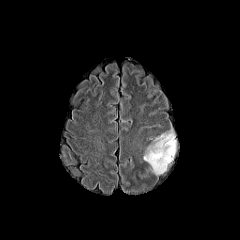
FLAIR MR.
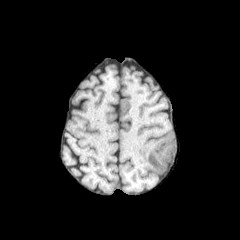
Same slice, T1-weighted MR image.
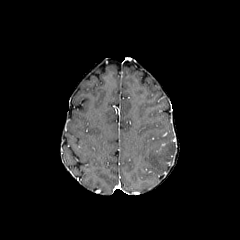
Post-contrast T1-weighted MRI.
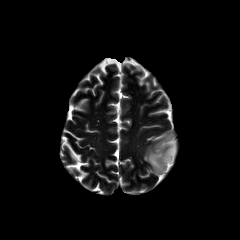
T2-weighted magnetic resonance.
Head; 240x240
<segmentation>
  <peritumoral_edema>143:132:175:174</peritumoral_edema>
</segmentation>